Head | 240x240
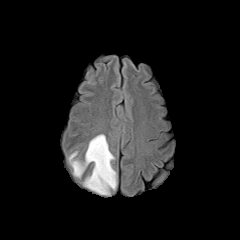
FLAIR MRI.
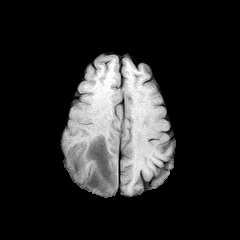
Same slice, T1-weighted magnetic resonance.
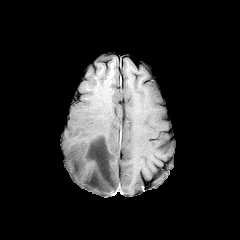
Same slice, post-contrast T1-weighted magnetic resonance.
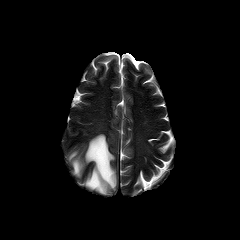
Same slice, T2-weighted magnetic resonance.
peritumoral edema: box=[68, 134, 116, 194]